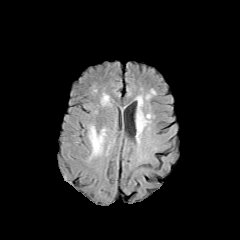
FLAIR magnetic resonance.
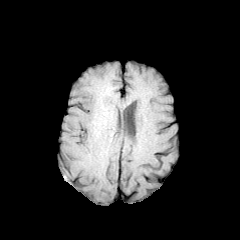
Same slice, T1-weighted MRI.
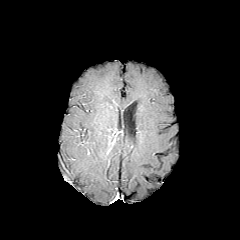
Same slice, post-contrast T1-weighted MR image.
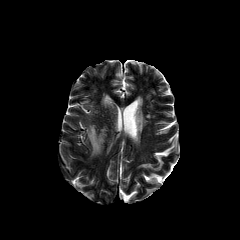
Same slice, T2-weighted MR image.
240x240 px
The peritumoral edema is located at box=[88, 125, 106, 155].